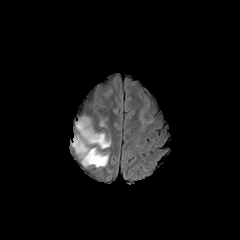
FLAIR MR.
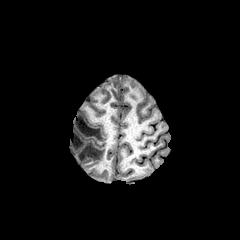
T1-weighted MR image.
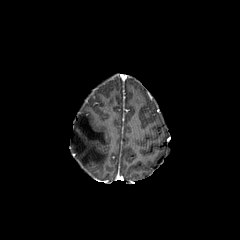
Post-contrast T1-weighted MR of the same slice.
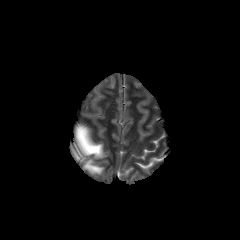
T2-weighted MRI of the same slice.
Axial slice.
Segmented structures:
* peritumoral edema: bbox(71, 117, 110, 168)